FLAIR magnetic resonance.
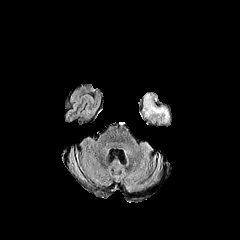
T1-weighted MR.
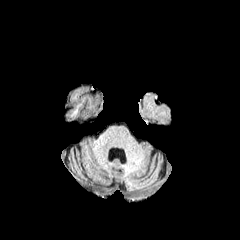
Post-contrast T1-weighted magnetic resonance.
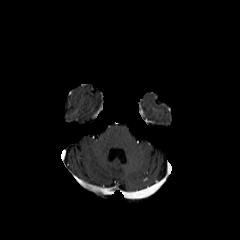
T2-weighted MRI.
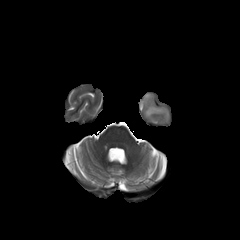
Brain, Axial view
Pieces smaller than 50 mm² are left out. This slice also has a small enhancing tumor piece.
The peritumoral edema appears at (x1=145, y1=95, x2=168, y2=121).